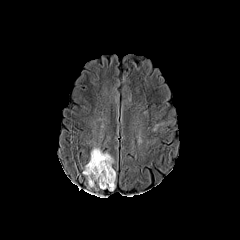
FLAIR MR image.
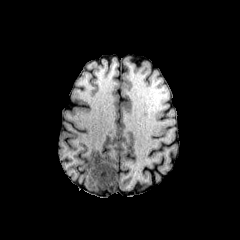
T1-weighted MRI.
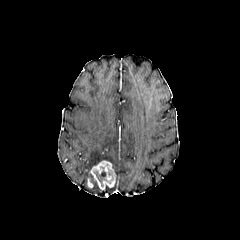
Same slice, post-contrast T1-weighted magnetic resonance.
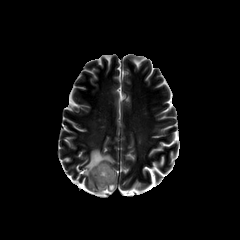
T2-weighted MRI.
Image size 240x240. Axial slice.
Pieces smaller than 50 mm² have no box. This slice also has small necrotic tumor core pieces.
peritumoral edema: bbox(83, 148, 113, 181)
enhancing tumor: bbox(87, 160, 115, 189)